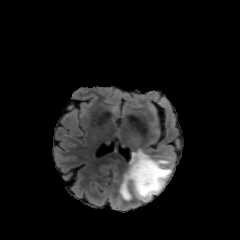
FLAIR MR image.
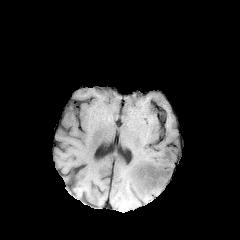
T1-weighted MRI of the same slice.
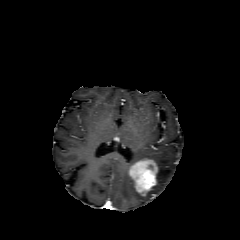
Post-contrast T1-weighted MRI.
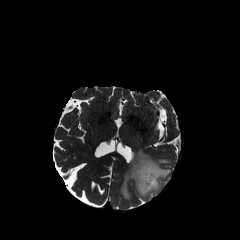
Same slice, T2-weighted MR image.
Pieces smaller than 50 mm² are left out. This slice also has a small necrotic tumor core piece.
enhancing tumor: bounding box bbox=[129, 159, 158, 195]
peritumoral edema: bounding box bbox=[119, 149, 172, 201]